Axial view. Slice index 86.
FLAIR MR.
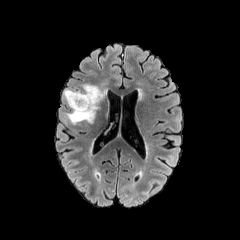
T1-weighted MRI.
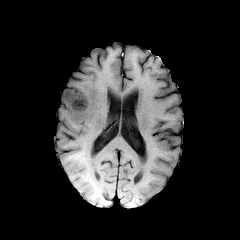
Post-contrast T1-weighted MRI.
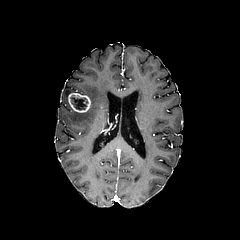
T2-weighted magnetic resonance.
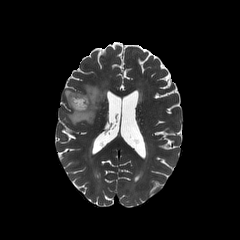
<segmentation>
  <necrotic_tumor_core>(71,96,86,109)</necrotic_tumor_core>
  <enhancing_tumor>(68,92,91,113)</enhancing_tumor>
  <peritumoral_edema>(63,81,107,124)</peritumoral_edema>
</segmentation>